Head, Axial view
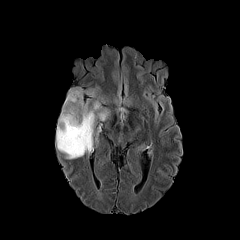
FLAIR MR image.
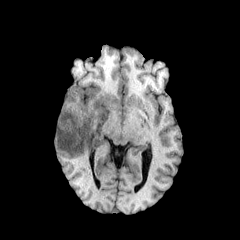
T1-weighted MRI of the same slice.
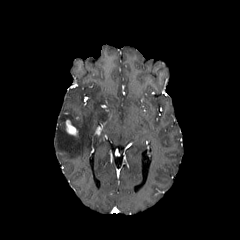
Post-contrast T1-weighted magnetic resonance of the same slice.
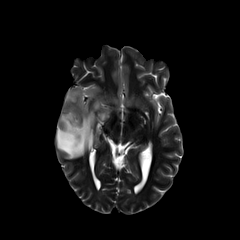
T2-weighted magnetic resonance of the same slice.
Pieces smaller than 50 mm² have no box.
The enhancing tumor is at [66, 119, 77, 135]. The largest peritumoral edema region is at [56, 88, 108, 159].